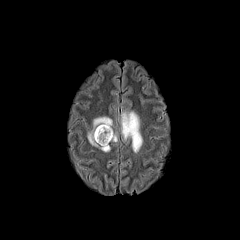
FLAIR magnetic resonance.
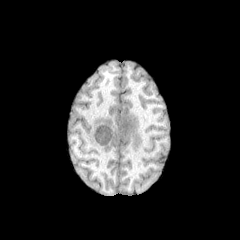
T1-weighted MRI.
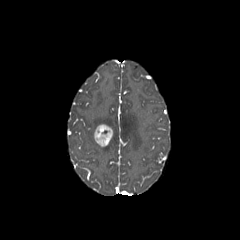
Post-contrast T1-weighted MRI.
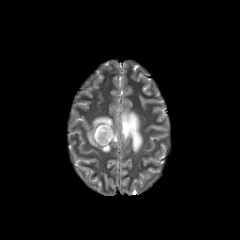
Same slice, T2-weighted magnetic resonance.
Brain | Axial slice | 240x240
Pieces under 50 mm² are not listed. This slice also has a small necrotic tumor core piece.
peritumoral edema = 120 111 142 152, 111 132 117 142, 87 116 112 152
enhancing tumor = 94 124 113 146